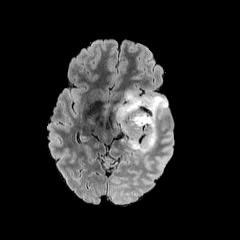
FLAIR MR image.
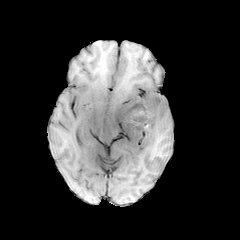
Same slice, T1-weighted MR image.
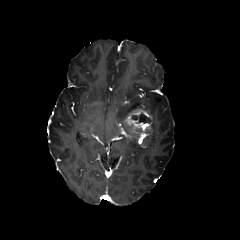
Post-contrast T1-weighted MRI.
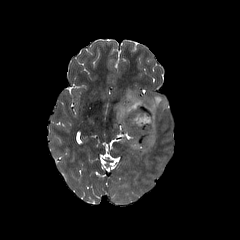
T2-weighted MR image.
Axial view.
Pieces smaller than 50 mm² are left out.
enhancing tumor at (123, 109, 153, 147)
peritumoral edema at (116, 91, 168, 153)
necrotic tumor core at (132, 113, 151, 122)